FLAIR magnetic resonance.
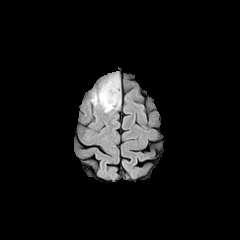
T1-weighted MR image.
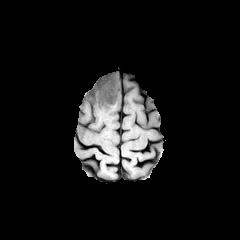
Post-contrast T1-weighted MR.
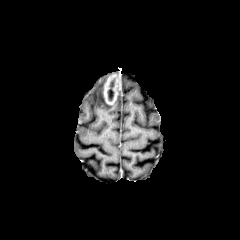
T2-weighted MR image.
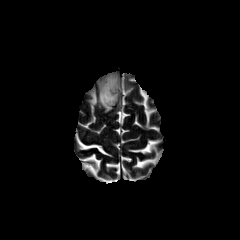
Head
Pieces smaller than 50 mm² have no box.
* peritumoral edema: 90,79,120,112
* enhancing tumor: 104,74,119,104
* necrotic tumor core: 107,89,114,101